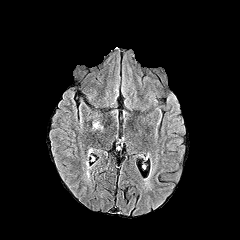
FLAIR MRI.
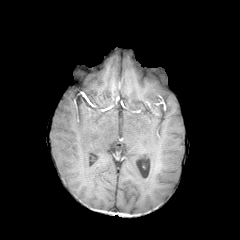
T1-weighted MR of the same slice.
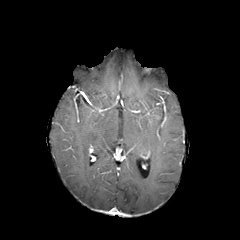
Post-contrast T1-weighted MRI of the same slice.
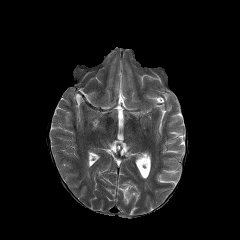
T2-weighted MR image.
240x240. Head.
The peritumoral edema is located at bbox=[93, 122, 102, 129].